FLAIR MRI.
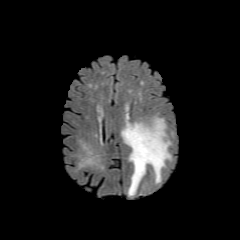
T1-weighted MR image.
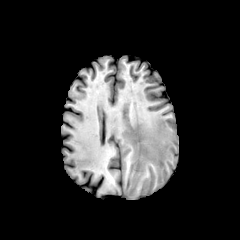
Post-contrast T1-weighted MRI.
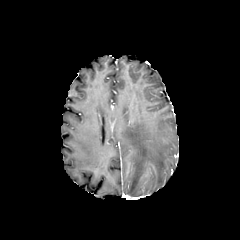
T2-weighted MR image.
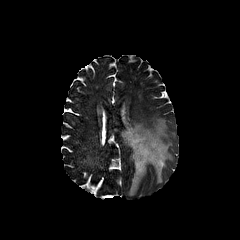
240x240 px. Brain.
peritumoral edema at 121,117,171,195